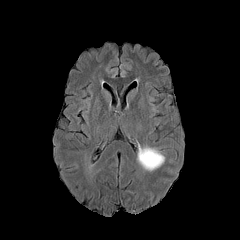
FLAIR MR image.
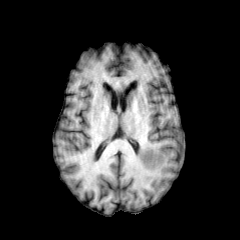
Same slice, T1-weighted MR.
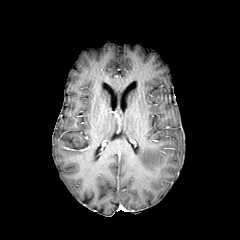
Post-contrast T1-weighted MRI.
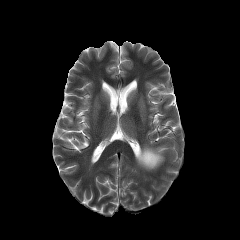
Same slice, T2-weighted MRI.
Axial slice, 240x240
peritumoral edema: bounding box [137,147,164,170]